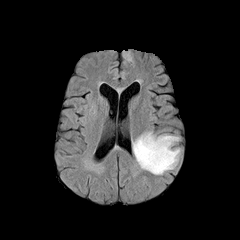
FLAIR MRI.
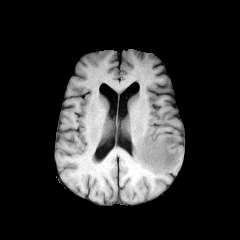
T1-weighted MR.
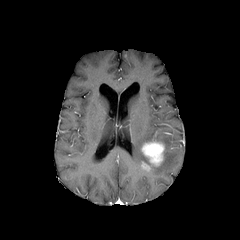
Post-contrast T1-weighted MR image of the same slice.
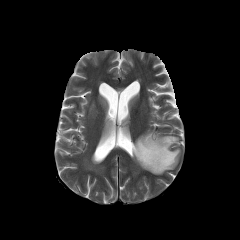
T2-weighted MRI of the same slice.
peritumoral edema = (123, 50, 132, 60), (132, 132, 180, 174)
enhancing tumor = (141, 141, 164, 169)